Slice index 83
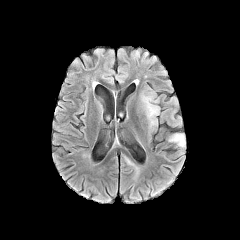
FLAIR MRI.
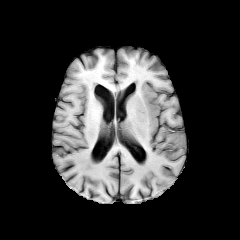
Same slice, T1-weighted MR image.
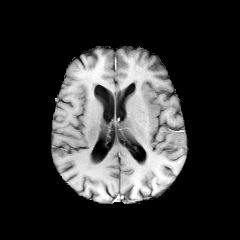
Same slice, post-contrast T1-weighted MR image.
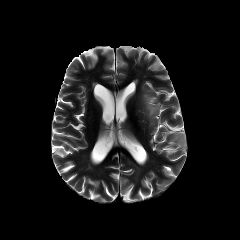
Same slice, T2-weighted MRI.
2 peritumoral edema regions are located at rect(141, 97, 160, 126); rect(168, 133, 186, 150).